Image width 240 mm, 1.00 mm slice spacing
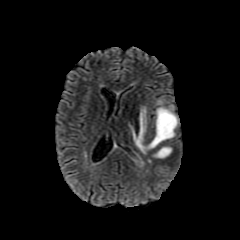
FLAIR magnetic resonance.
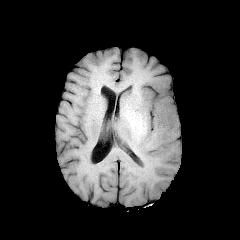
T1-weighted MR image of the same slice.
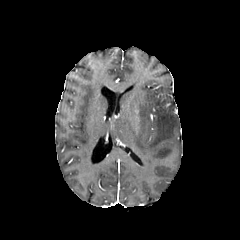
Same slice, post-contrast T1-weighted MR.
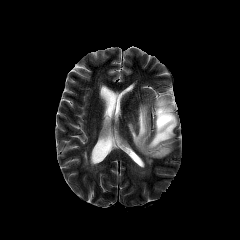
T2-weighted magnetic resonance of the same slice.
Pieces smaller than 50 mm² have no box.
- peritumoral edema: [x1=151, y1=146, x2=172, y2=158], [x1=129, y1=98, x2=178, y2=154]